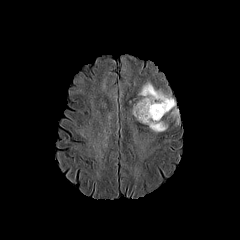
FLAIR MR image.
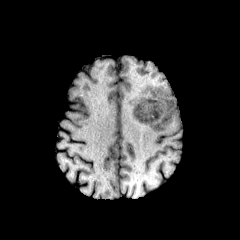
T1-weighted MR.
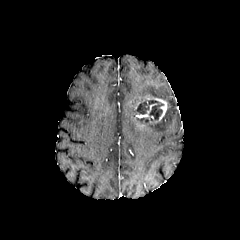
Same slice, post-contrast T1-weighted magnetic resonance.
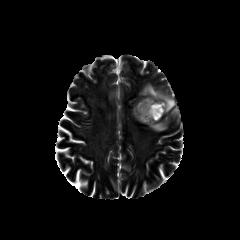
T2-weighted MR image.
Head
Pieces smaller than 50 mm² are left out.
{"peritumoral_edema": ["box(171, 109, 179, 123)", "box(139, 82, 175, 113)", "box(137, 118, 167, 132)"], "enhancing_tumor": ["box(135, 95, 168, 123)"], "necrotic_tumor_core": ["box(135, 100, 163, 119)"]}